Image size 240x240.
FLAIR magnetic resonance.
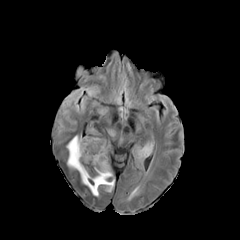
T1-weighted magnetic resonance.
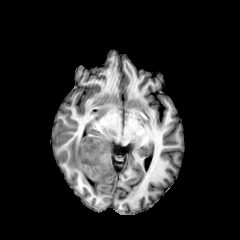
Post-contrast T1-weighted MRI.
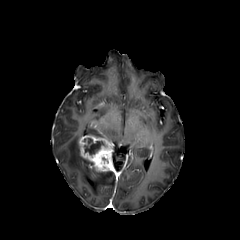
T2-weighted MR.
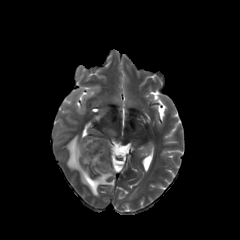
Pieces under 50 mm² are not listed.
necrotic tumor core at (left=84, top=138, right=103, bottom=154)
enhancing tumor at (left=78, top=136, right=113, bottom=172)
peritumoral edema at (left=67, top=135, right=114, bottom=196), (left=139, top=150, right=148, bottom=156)